Image size 240x240 | Axial plane
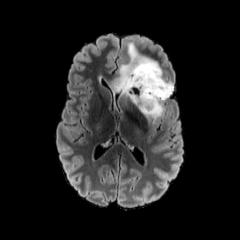
FLAIR MRI.
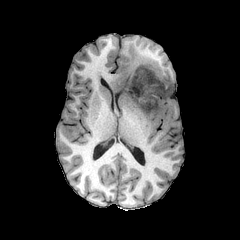
Same slice, T1-weighted MR.
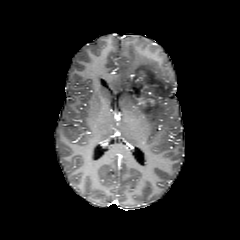
Post-contrast T1-weighted magnetic resonance.
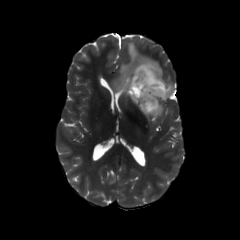
Same slice, T2-weighted MRI.
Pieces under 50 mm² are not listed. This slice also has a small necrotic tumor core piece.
{"peritumoral_edema": ["bbox=[112, 41, 173, 122]"], "enhancing_tumor": ["bbox=[135, 71, 145, 82]", "bbox=[133, 95, 156, 107]"]}